240x240
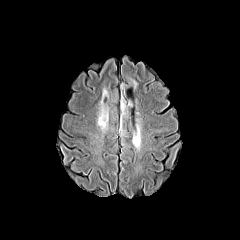
FLAIR MRI.
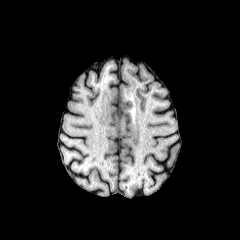
T1-weighted MR image of the same slice.
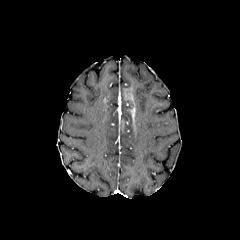
Same slice, post-contrast T1-weighted MR.
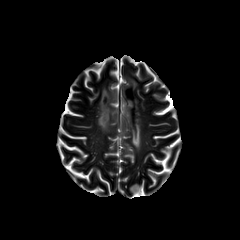
T2-weighted magnetic resonance of the same slice.
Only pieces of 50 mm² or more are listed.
<segmentation>
  <peritumoral_edema>[97, 88, 117, 133], [119, 75, 141, 151]</peritumoral_edema>
</segmentation>